Slice 89/155. Head.
FLAIR MRI.
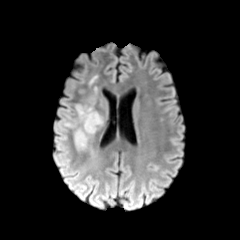
T1-weighted MR.
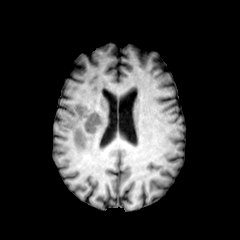
Post-contrast T1-weighted magnetic resonance.
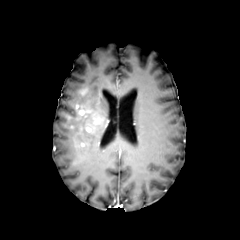
T2-weighted MRI.
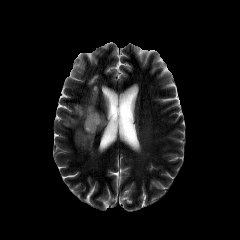
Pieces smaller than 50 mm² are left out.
peritumoral_edema:
  - (left=79, top=113, right=90, bottom=129)
  - (left=64, top=117, right=75, bottom=127)
  - (left=75, top=129, right=87, bottom=146)
enhancing_tumor:
  - (left=75, top=105, right=102, bottom=133)